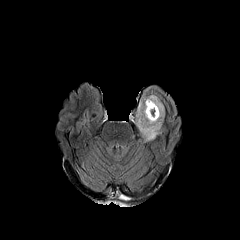
FLAIR magnetic resonance.
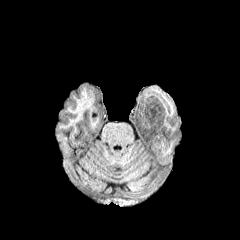
T1-weighted magnetic resonance.
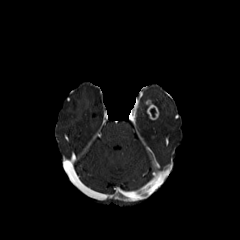
Same slice, post-contrast T1-weighted magnetic resonance.
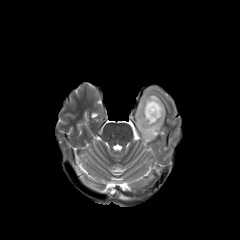
T2-weighted MR image of the same slice.
Image size 240x240; Brain; Axial plane
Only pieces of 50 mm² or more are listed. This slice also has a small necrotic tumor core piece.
enhancing tumor — (x1=145, y1=99, x2=159, y2=120)
peritumoral edema — (x1=136, y1=93, x2=164, y2=141)